FLAIR magnetic resonance.
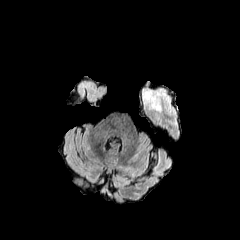
T1-weighted MRI.
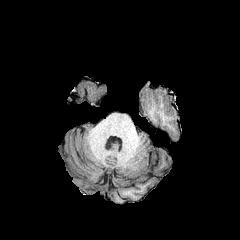
Post-contrast T1-weighted magnetic resonance.
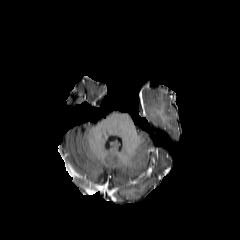
T2-weighted MR image.
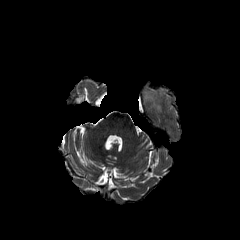
Head
- peritumoral edema: l=142, t=86, r=175, b=113